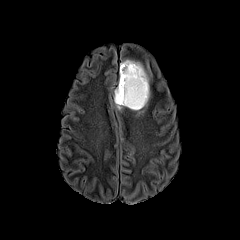
FLAIR MRI.
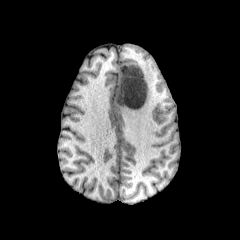
T1-weighted MRI of the same slice.
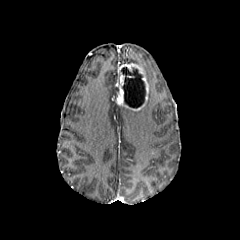
Post-contrast T1-weighted MRI of the same slice.
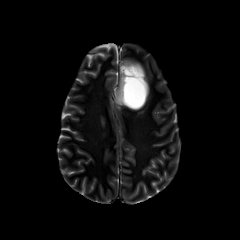
Same slice, T2-weighted MR.
Image size 240x240; Head
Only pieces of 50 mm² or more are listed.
Annotated regions:
- enhancing tumor: 116:63:148:110
- peritumoral edema: 120:59:150:100, 114:84:124:110
- necrotic tumor core: 121:67:145:108